FLAIR MRI.
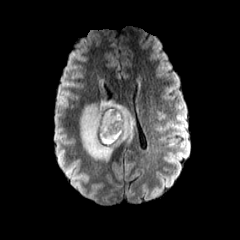
T1-weighted MR.
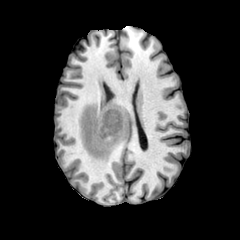
Post-contrast T1-weighted MRI.
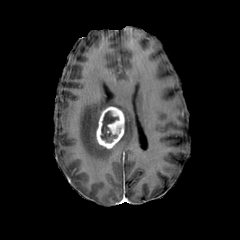
T2-weighted MR.
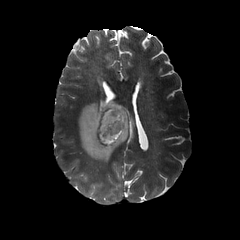
Brain | Image size 240x240
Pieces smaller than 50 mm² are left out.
The largest enhancing tumor region is located at x1=96 y1=106 x2=124 y2=149. The peritumoral edema is at x1=80 y1=76 x2=135 y2=162. The necrotic tumor core is located at x1=100 y1=110 x2=118 y2=142.